Head. Image covers 240 mm x 240 mm.
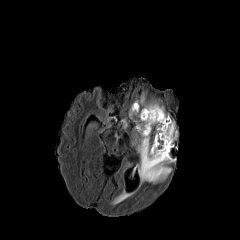
FLAIR magnetic resonance.
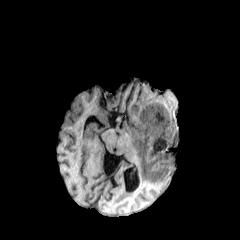
T1-weighted magnetic resonance.
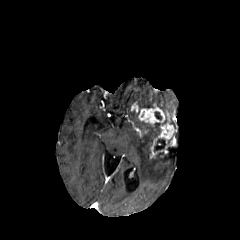
Post-contrast T1-weighted MR of the same slice.
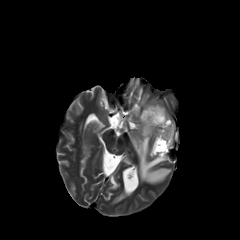
T2-weighted MR image of the same slice.
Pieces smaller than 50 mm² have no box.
enhancing tumor at l=138, t=104, r=176, b=157; l=131, t=103, r=138, b=112; l=136, t=128, r=148, b=136
peritumoral edema at l=140, t=95, r=163, b=110; l=132, t=122, r=172, b=183
necrotic tumor core at l=154, t=139, r=165, b=151